Axial plane. Head.
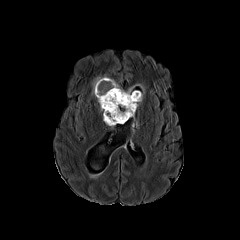
FLAIR MR image.
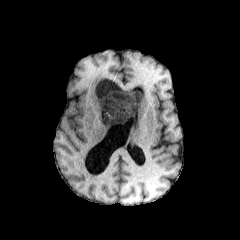
T1-weighted MR image.
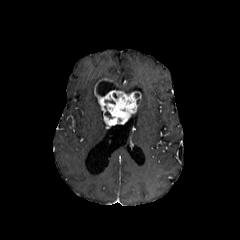
Post-contrast T1-weighted MR image.
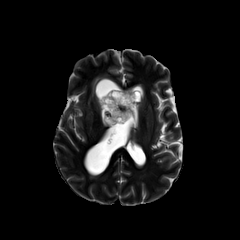
T2-weighted MR image.
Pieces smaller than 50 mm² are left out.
• necrotic tumor core: <bbox>96, 80, 118, 96</bbox>
• peritumoral edema: <bbox>92, 76, 107, 94</bbox>
• enhancing tumor: <bbox>94, 78, 141, 126</bbox>